FLAIR MRI.
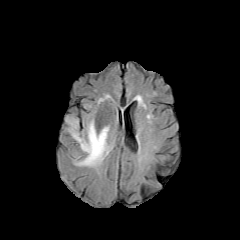
T1-weighted magnetic resonance.
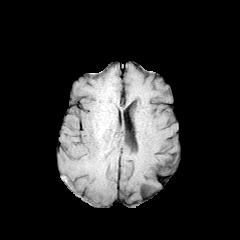
Post-contrast T1-weighted MR.
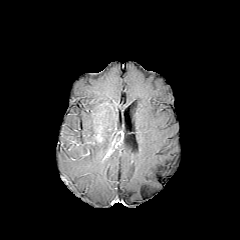
T2-weighted MRI.
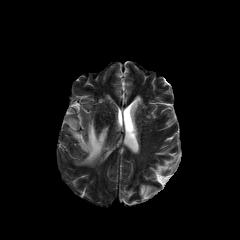
Axial view
peritumoral edema: region(66, 117, 112, 166)